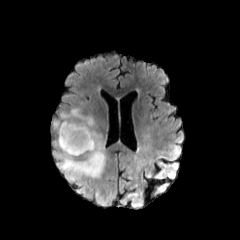
FLAIR MRI.
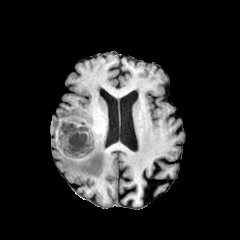
T1-weighted MR image.
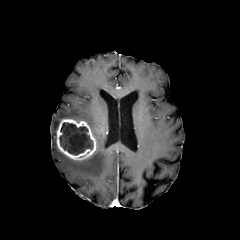
Post-contrast T1-weighted MR of the same slice.
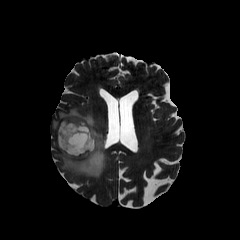
T2-weighted MR.
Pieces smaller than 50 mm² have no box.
The peritumoral edema appears at <bbox>52, 107, 106, 200</bbox>. The largest necrotic tumor core region is at <bbox>59, 122, 93, 155</bbox>. The enhancing tumor is located at <bbox>56, 118, 97, 160</bbox>.